Brain, Image width 240 mm
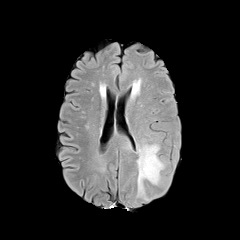
FLAIR magnetic resonance.
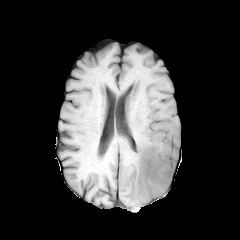
Same slice, T1-weighted magnetic resonance.
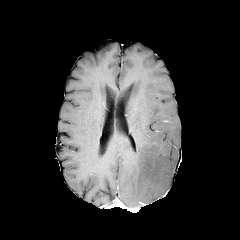
Post-contrast T1-weighted MR image.
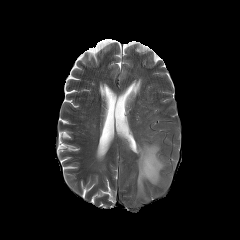
T2-weighted MRI of the same slice.
2 peritumoral edema regions appear at l=125, t=142, r=131, b=150; l=137, t=143, r=166, b=199.